Image width 240 mm, 1.00 mm slice spacing. Axial slice. Brain.
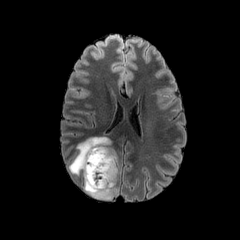
FLAIR MR.
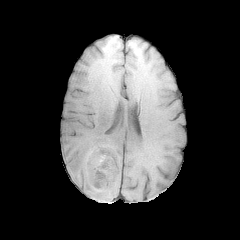
Same slice, T1-weighted MRI.
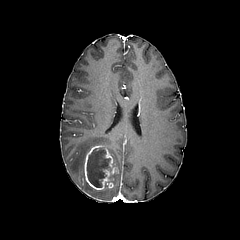
Same slice, post-contrast T1-weighted MRI.
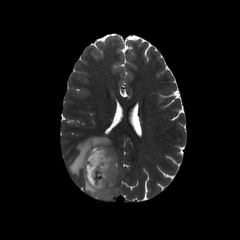
Same slice, T2-weighted magnetic resonance.
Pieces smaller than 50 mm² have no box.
The enhancing tumor appears at (84,145,116,190). The largest necrotic tumor core region appears at (87,148,111,187). The peritumoral edema appears at (68,137,118,200).